FLAIR MRI.
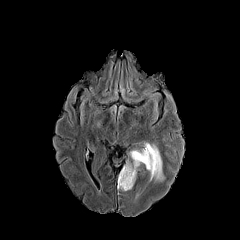
T1-weighted MR image.
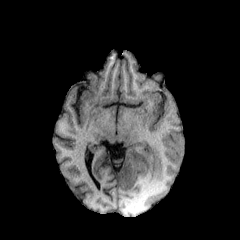
Post-contrast T1-weighted MRI.
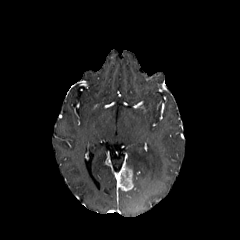
T2-weighted MR image.
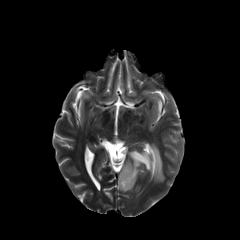
Brain | Axial plane
peritumoral_edema:
  - [127, 143, 163, 182]
enhancing_tumor:
  - [119, 166, 133, 191]